FLAIR magnetic resonance.
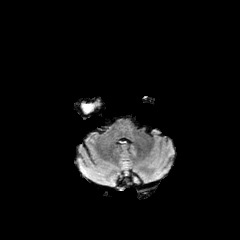
T1-weighted MRI.
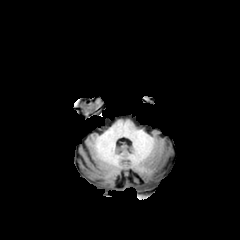
Post-contrast T1-weighted MR image.
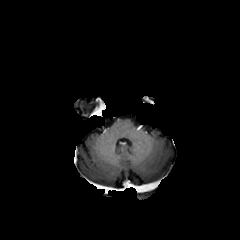
T2-weighted MR.
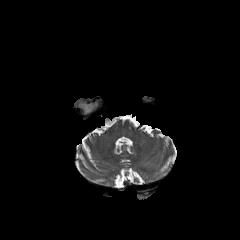
Axial slice, Head
Segmented structures:
* peritumoral edema: l=82, t=102, r=97, b=112